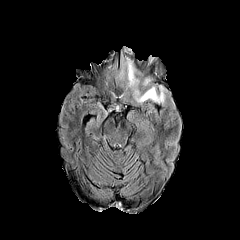
FLAIR MR.
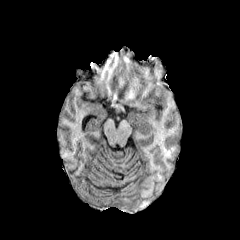
Same slice, T1-weighted MR.
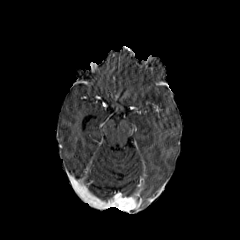
Post-contrast T1-weighted MR image.
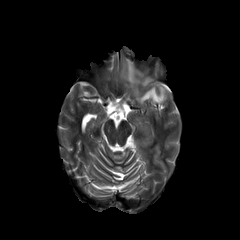
T2-weighted MR image.
{
  "peritumoral_edema": [
    {"x1": 143, "y1": 76, "x2": 150, "y2": 85},
    {"x1": 119, "y1": 56, "x2": 167, "y2": 106}
  ]
}